Image width 240 mm. 240x240 px. Slice 80 of 155.
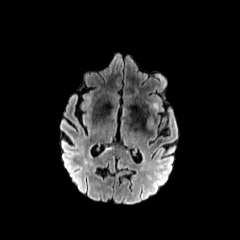
FLAIR magnetic resonance.
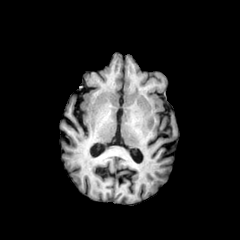
Same slice, T1-weighted MRI.
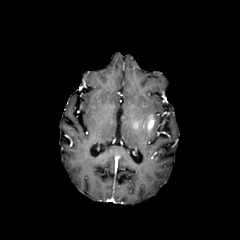
Post-contrast T1-weighted MR.
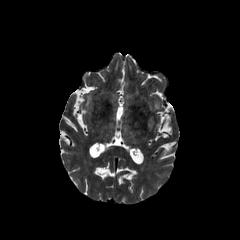
T2-weighted magnetic resonance.
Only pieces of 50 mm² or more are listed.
enhancing tumor at 147,115,154,130